Slice 81 of 155, Brain, Image size 240x240
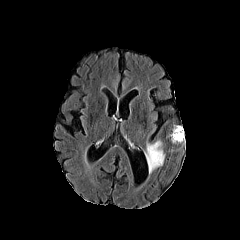
FLAIR MR image.
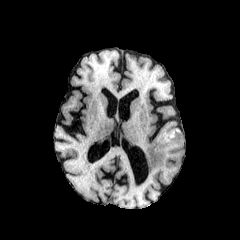
T1-weighted MR image.
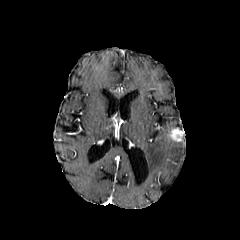
Post-contrast T1-weighted MRI of the same slice.
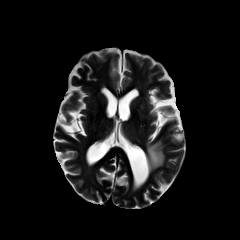
T2-weighted MR.
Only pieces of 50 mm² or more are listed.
peritumoral_edema:
  - 146:140:164:172
enhancing_tumor:
  - 169:127:184:141